FLAIR magnetic resonance.
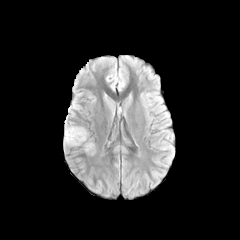
T1-weighted magnetic resonance.
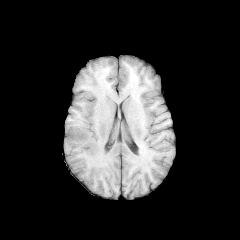
Post-contrast T1-weighted magnetic resonance.
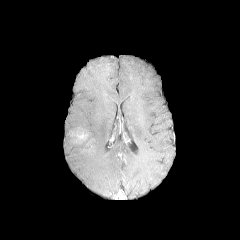
T2-weighted MRI.
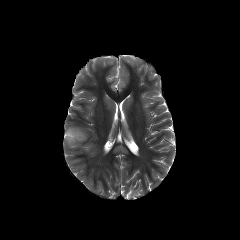
Head
{"enhancing_tumor": ["x1=76, y1=132, x2=87, y2=140"], "peritumoral_edema": ["x1=85, y1=143, x2=93, y2=151", "x1=65, y1=127, x2=86, y2=144"]}